FLAIR MRI.
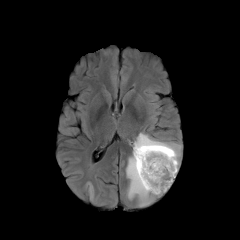
T1-weighted MR.
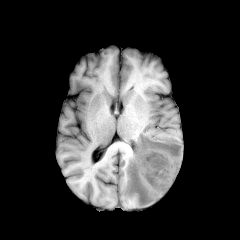
Post-contrast T1-weighted MR.
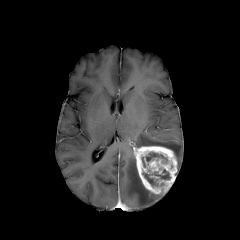
T2-weighted MRI.
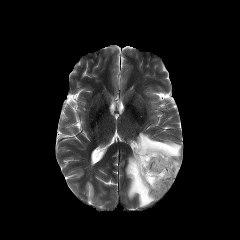
Head; Axial slice
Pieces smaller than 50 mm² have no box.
The 3 largest necrotic tumor core regions are located at bbox=[143, 173, 155, 185]; bbox=[146, 153, 159, 161]; bbox=[154, 173, 170, 179]. 2 peritumoral edema regions are bounded by bbox=[126, 154, 168, 206]; bbox=[134, 132, 181, 169]. The enhancing tumor lies within bbox=[133, 146, 177, 194].